Axial view. Brain.
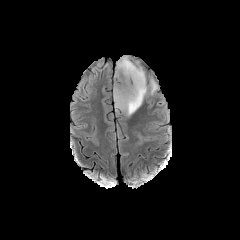
FLAIR MRI.
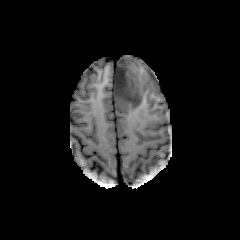
T1-weighted MR image of the same slice.
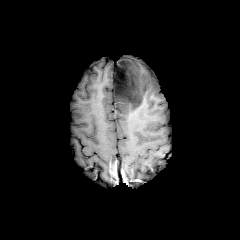
Post-contrast T1-weighted MR image.
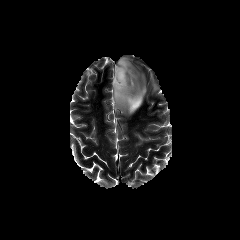
T2-weighted MR.
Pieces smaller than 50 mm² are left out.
peritumoral_edema:
  - left=115, top=56, right=148, bottom=118
  - left=150, top=78, right=158, bottom=93
necrotic_tumor_core:
  - left=113, top=59, right=140, bottom=107